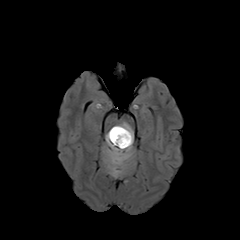
FLAIR MRI.
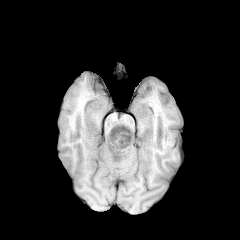
T1-weighted MR image.
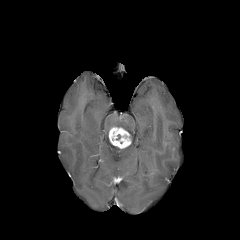
Same slice, post-contrast T1-weighted magnetic resonance.
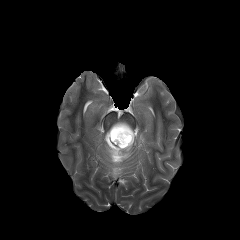
T2-weighted MR image of the same slice.
Axial view, Head
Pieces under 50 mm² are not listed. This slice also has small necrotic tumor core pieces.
Annotated regions:
* peritumoral edema: [x1=103, y1=122, x2=133, y2=177]
* enhancing tumor: [x1=109, y1=126, x2=131, y2=148]